Slice 96/155. Image size 240x240. Head.
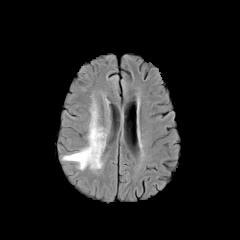
FLAIR MR image.
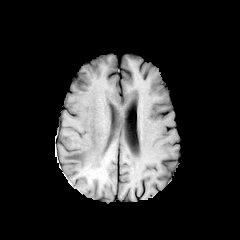
T1-weighted magnetic resonance.
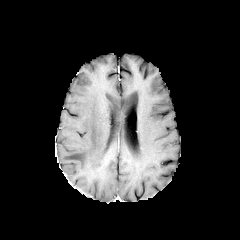
Post-contrast T1-weighted MR image.
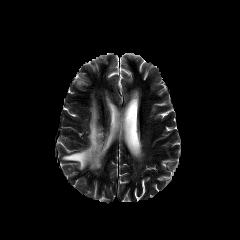
T2-weighted MR of the same slice.
peritumoral edema: [62, 101, 106, 169]